FLAIR MR image.
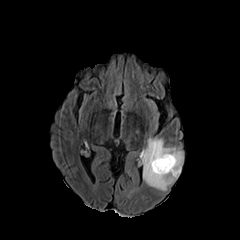
T1-weighted MRI.
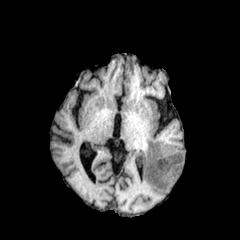
Post-contrast T1-weighted MR image.
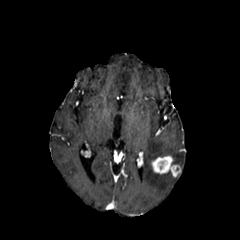
T2-weighted MR.
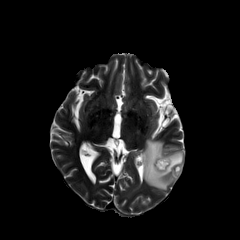
Image size 240x240; Axial plane
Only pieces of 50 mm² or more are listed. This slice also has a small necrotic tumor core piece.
enhancing_tumor:
  - box(151, 155, 181, 176)
peritumoral_edema:
  - box(143, 137, 183, 191)